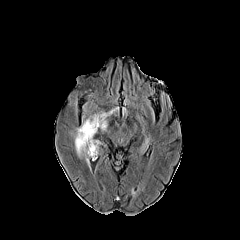
FLAIR MR image.
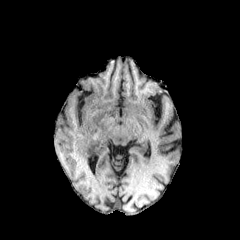
T1-weighted magnetic resonance of the same slice.
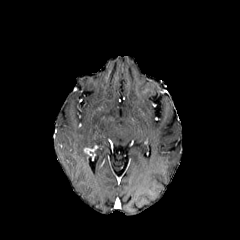
Post-contrast T1-weighted MR.
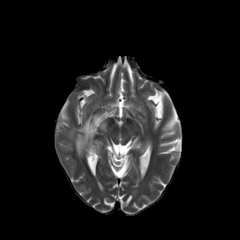
T2-weighted MR image.
Image size 240x240
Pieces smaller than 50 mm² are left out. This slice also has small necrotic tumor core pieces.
enhancing tumor at box=[84, 146, 97, 156]
peritumoral edema at box=[75, 113, 108, 157]